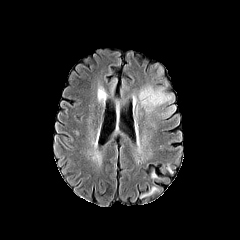
FLAIR MRI.
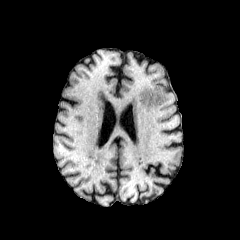
Same slice, T1-weighted MR.
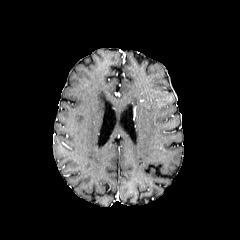
Same slice, post-contrast T1-weighted MR.
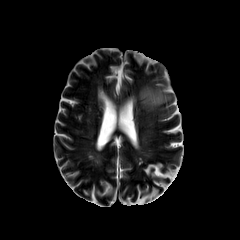
Same slice, T2-weighted MRI.
Axial slice.
Findings:
- peritumoral edema: bbox(163, 106, 174, 117); bbox(139, 86, 171, 111)